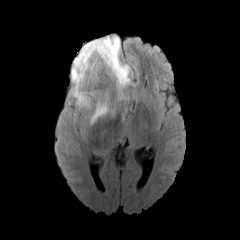
FLAIR magnetic resonance.
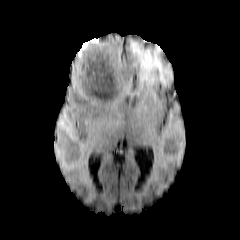
T1-weighted MR image.
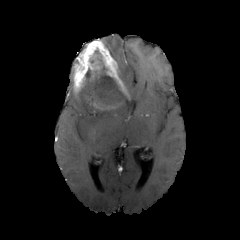
Post-contrast T1-weighted magnetic resonance.
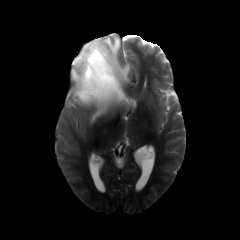
T2-weighted MR of the same slice.
Head
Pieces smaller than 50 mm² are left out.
necrotic tumor core = 82 70 120 101
enhancing tumor = 71 37 129 115
peritumoral edema = 69 87 81 108, 107 35 134 88, 90 112 102 124